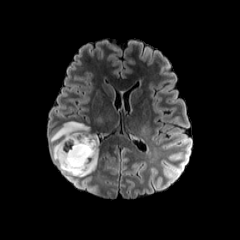
FLAIR MR.
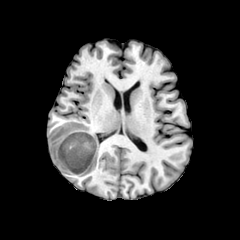
Same slice, T1-weighted magnetic resonance.
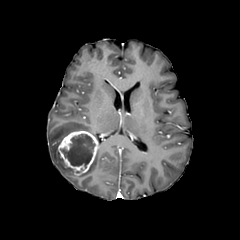
Post-contrast T1-weighted magnetic resonance.
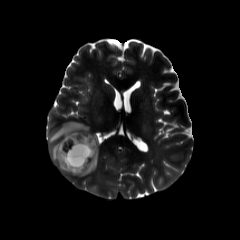
T2-weighted MR of the same slice.
Head
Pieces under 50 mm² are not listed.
peritumoral_edema:
  - (x1=49, y1=121, x2=98, y2=176)
enhancing_tumor:
  - (x1=58, y1=131, x2=98, y2=174)
necrotic_tumor_core:
  - (x1=61, y1=134, x2=95, y2=168)